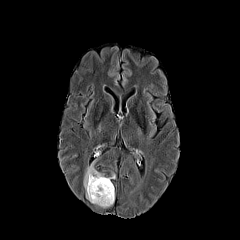
FLAIR MR.
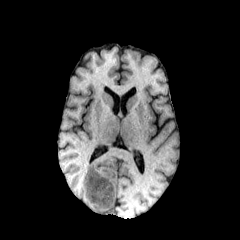
Same slice, T1-weighted magnetic resonance.
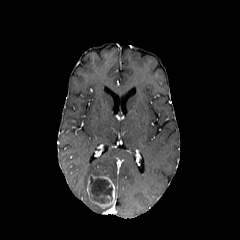
Post-contrast T1-weighted MRI.
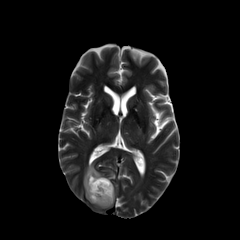
T2-weighted magnetic resonance.
Axial view; 240x240
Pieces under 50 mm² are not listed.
{
  "peritumoral_edema": [
    "l=83, t=164, r=104, b=200"
  ],
  "enhancing_tumor": [
    "l=87, t=174, r=114, b=208"
  ],
  "necrotic_tumor_core": [
    "l=89, t=176, r=112, b=203"
  ]
}